FLAIR MR image.
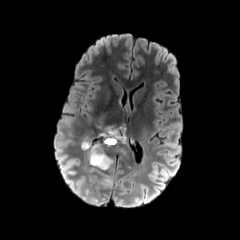
T1-weighted MR.
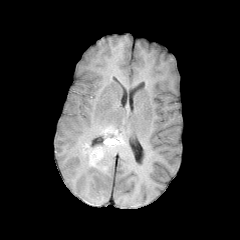
Post-contrast T1-weighted MRI.
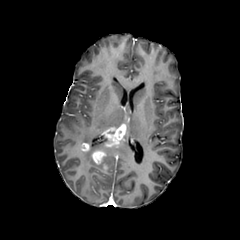
T2-weighted MRI.
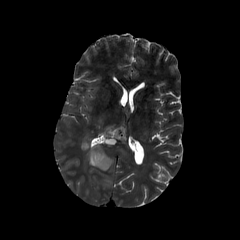
Brain; 240x240
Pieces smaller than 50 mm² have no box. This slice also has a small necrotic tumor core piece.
<segmentation>
  <peritumoral_edema>[102, 178, 111, 186], [111, 136, 129, 155], [88, 141, 103, 169], [102, 153, 113, 166], [82, 132, 96, 146]</peritumoral_edema>
  <enhancing_tumor>[82, 143, 89, 150], [91, 149, 108, 170], [101, 123, 126, 146]</enhancing_tumor>
</segmentation>